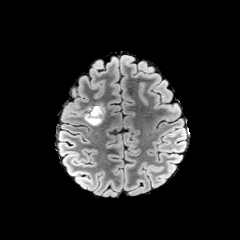
FLAIR MR.
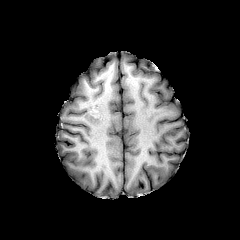
T1-weighted MR.
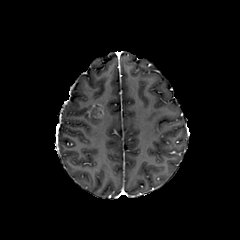
Post-contrast T1-weighted MRI.
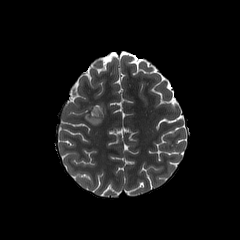
T2-weighted magnetic resonance of the same slice.
Head; Image size 240x240
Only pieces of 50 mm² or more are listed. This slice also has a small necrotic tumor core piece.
enhancing tumor: {"x1": 89, "y1": 104, "x2": 104, "y2": 118}
peritumoral edema: {"x1": 84, "y1": 113, "x2": 104, "y2": 125}